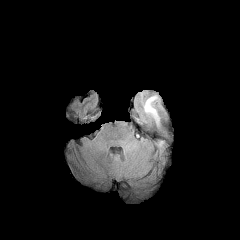
FLAIR MR.
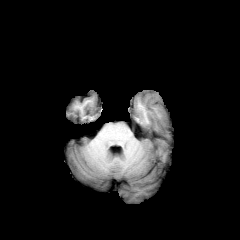
T1-weighted magnetic resonance.
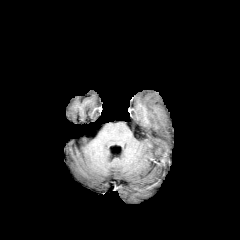
Post-contrast T1-weighted magnetic resonance.
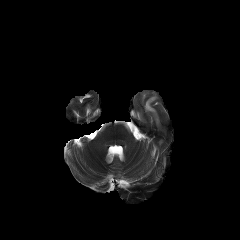
T2-weighted magnetic resonance.
Axial plane
<segmentation>
  <peritumoral_edema>[143, 95, 159, 123]</peritumoral_edema>
</segmentation>